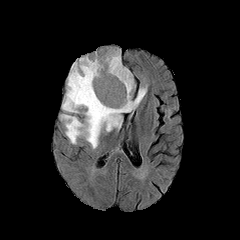
FLAIR MR image.
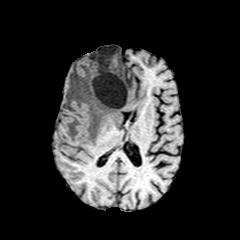
T1-weighted MR image.
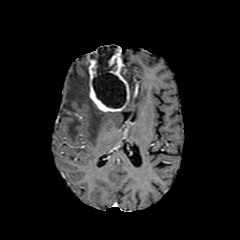
Post-contrast T1-weighted MRI of the same slice.
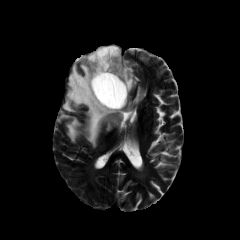
T2-weighted MR.
Axial view.
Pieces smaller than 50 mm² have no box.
The peritumoral edema lies within (61,55,146,148). The largest enhancing tumor region appears at (87,46,129,111). The necrotic tumor core is bounded by (90,46,126,108).